Axial slice.
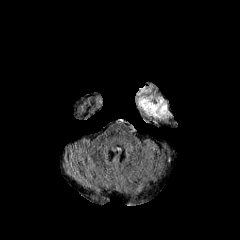
FLAIR MR image.
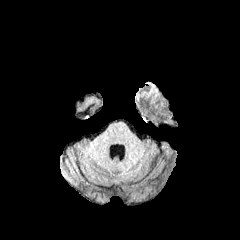
T1-weighted magnetic resonance of the same slice.
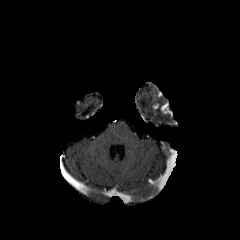
Post-contrast T1-weighted MRI.
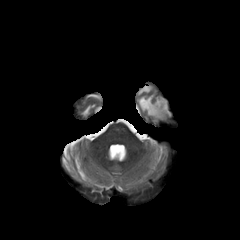
T2-weighted MR image.
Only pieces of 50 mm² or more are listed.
enhancing tumor: bounding box x1=160, y1=104, x2=169, y2=113
peritumoral edema: bounding box x1=156, y1=96, x2=165, y2=106; x1=138, y1=96, x2=169, y2=118